240x240 px; Slice 68 of 155
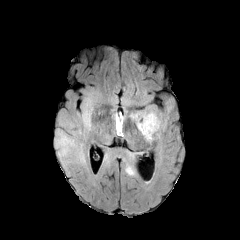
FLAIR MR image.
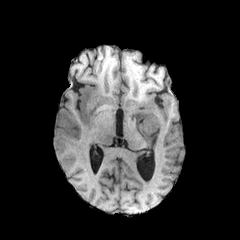
T1-weighted magnetic resonance.
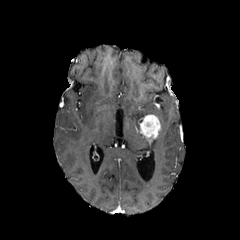
Same slice, post-contrast T1-weighted MR.
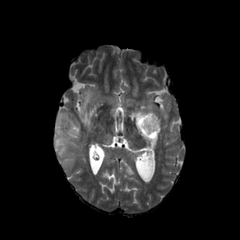
T2-weighted MR image.
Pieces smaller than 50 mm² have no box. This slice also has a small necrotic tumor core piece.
<segmentation>
  <enhancing_tumor>bbox=[138, 114, 161, 141]</enhancing_tumor>
  <peritumoral_edema>bbox=[125, 164, 135, 176]; bbox=[55, 98, 93, 165]; bbox=[131, 107, 166, 130]; bbox=[58, 112, 73, 127]</peritumoral_edema>
</segmentation>